FLAIR MR.
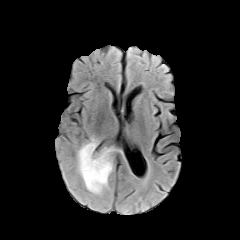
T1-weighted MR image.
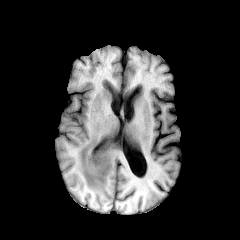
Post-contrast T1-weighted MRI.
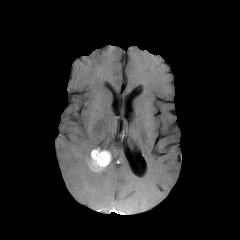
T2-weighted magnetic resonance.
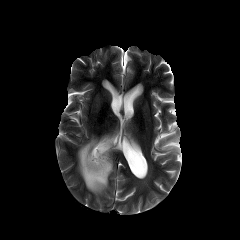
Head; 240x240 px; Axial plane
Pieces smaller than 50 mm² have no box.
peritumoral edema at x1=101 y1=145 x2=116 y2=155, x1=77 y1=136 x2=113 y2=194
enhancing tumor at x1=88 y1=148 x2=111 y2=172